FLAIR MR image.
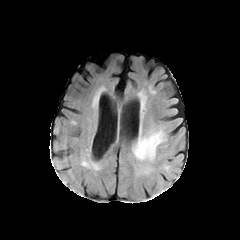
T1-weighted MRI.
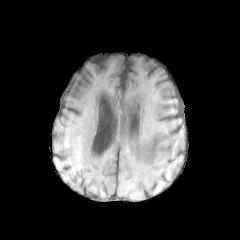
Post-contrast T1-weighted MR image.
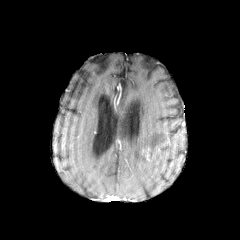
T2-weighted MR.
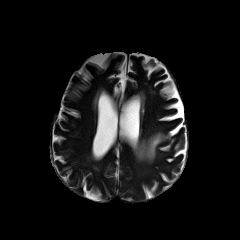
Head.
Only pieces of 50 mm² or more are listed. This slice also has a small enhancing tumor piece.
Segmented structures:
* peritumoral edema: [132,130,166,162]